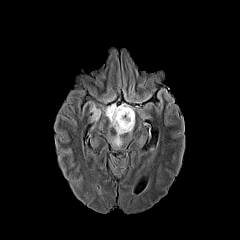
FLAIR MRI.
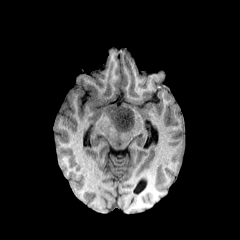
T1-weighted MR image of the same slice.
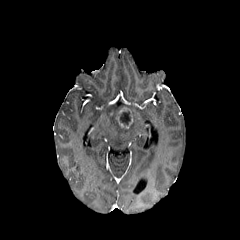
Post-contrast T1-weighted MR image.
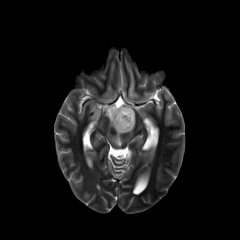
Same slice, T2-weighted MR image.
240x240 px, Head
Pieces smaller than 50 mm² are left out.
enhancing tumor: bounding box x1=110, y1=107, x2=133, y2=128
necrotic tumor core: bounding box x1=119, y1=111, x2=130, y2=125
peritumoral edema: bounding box x1=90, y1=103, x2=100, y2=120; x1=104, y1=104, x2=135, y2=147